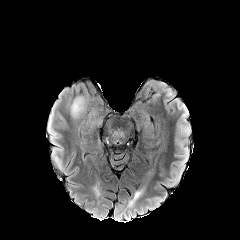
FLAIR MRI.
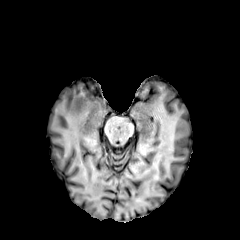
T1-weighted MR of the same slice.
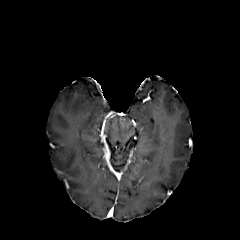
Post-contrast T1-weighted MR image of the same slice.
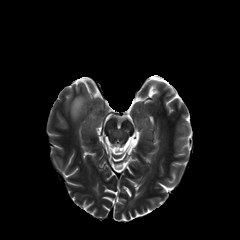
T2-weighted MRI.
240x240 px | Head
The peritumoral edema lies within [71, 97, 84, 117].